Slice 109/155. Image size 240x240. Axial view. Head. Image width 240 mm, 1.00 mm slice spacing.
FLAIR MRI.
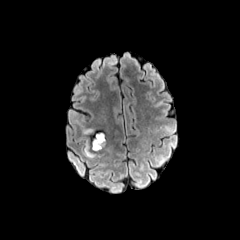
T1-weighted MR.
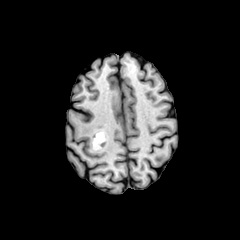
Post-contrast T1-weighted MR.
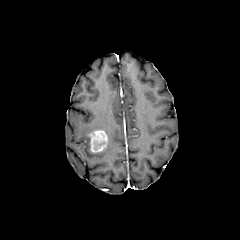
T2-weighted MR.
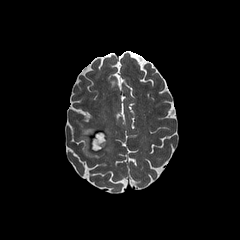
peritumoral edema = left=83, top=140, right=95, bottom=157; left=82, top=128, right=94, bottom=134
enhancing tumor = left=89, top=130, right=107, bottom=152